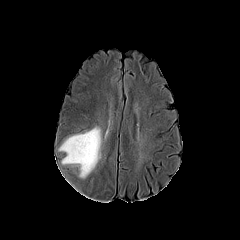
FLAIR MRI.
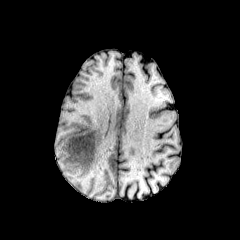
Same slice, T1-weighted magnetic resonance.
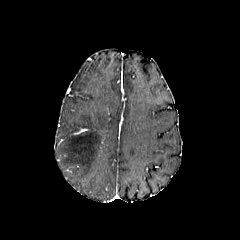
Post-contrast T1-weighted magnetic resonance.
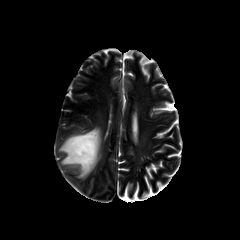
T2-weighted MR image of the same slice.
Brain; Axial plane; Image size 240x240
peritumoral edema: (59, 127, 101, 178)